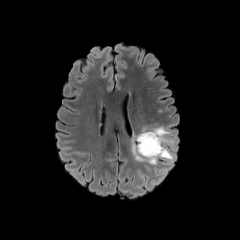
FLAIR magnetic resonance.
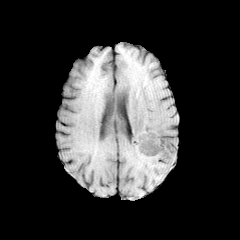
T1-weighted MR image of the same slice.
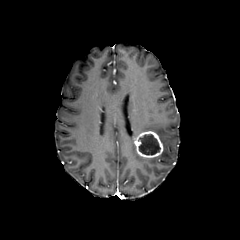
Same slice, post-contrast T1-weighted MR image.
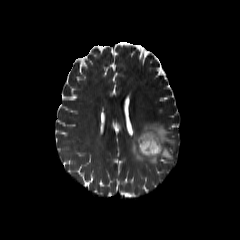
Same slice, T2-weighted MR image.
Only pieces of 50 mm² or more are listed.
<segmentation>
  <necrotic_tumor_core>(x1=139, y1=134, x2=160, y2=154)</necrotic_tumor_core>
  <enhancing_tumor>(x1=134, y1=131, x2=163, y2=158)</enhancing_tumor>
  <peritumoral_edema>(x1=131, y1=124, x2=175, y2=165)</peritumoral_edema>
</segmentation>